240x240 px, Image covers 240 mm x 240 mm, Brain, Slice 97 of 155
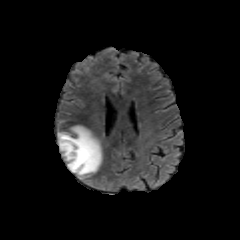
FLAIR MRI.
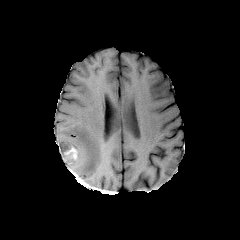
T1-weighted MR.
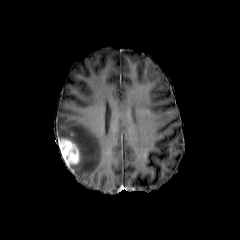
Post-contrast T1-weighted MR of the same slice.
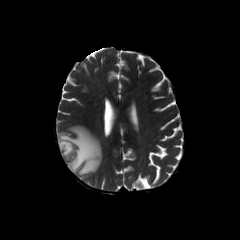
Same slice, T2-weighted MR image.
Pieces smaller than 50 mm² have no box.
peritumoral edema: rect(58, 125, 102, 179) | enhancing tumor: rect(59, 138, 80, 168)